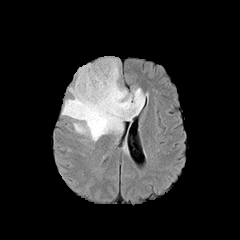
FLAIR MRI.
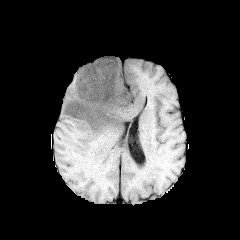
T1-weighted magnetic resonance.
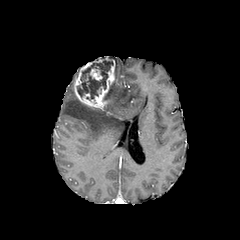
Post-contrast T1-weighted MR image of the same slice.
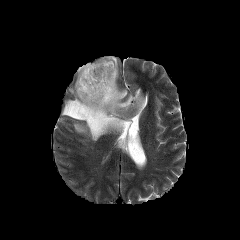
Same slice, T2-weighted MRI.
Axial view | 240x240
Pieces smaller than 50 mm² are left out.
The 2 largest enhancing tumor regions are bounded by (x1=74, y1=56, x2=116, y2=109), (x1=90, y1=69, x2=102, y2=80). The largest peritumoral edema region is bounded by (x1=62, y1=57, x2=144, y2=141). The necrotic tumor core is located at (x1=77, y1=60, x2=113, y2=100).